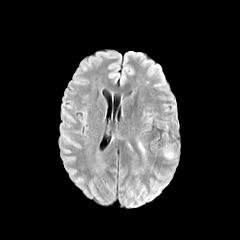
FLAIR MR image.
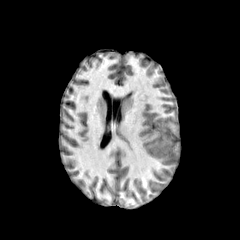
Same slice, T1-weighted MRI.
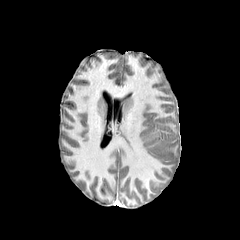
Post-contrast T1-weighted MRI.
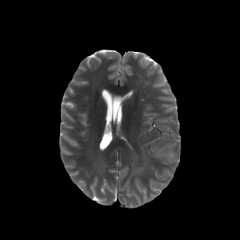
T2-weighted MRI.
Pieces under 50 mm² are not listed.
The largest peritumoral edema region is located at 165,146,173,159.